Image covers 240 mm x 240 mm; Axial plane; Image size 240x240; Slice index 101
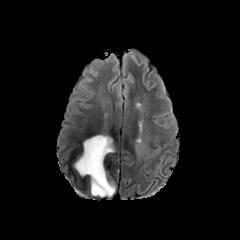
FLAIR MRI.
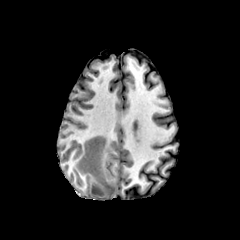
Same slice, T1-weighted MR image.
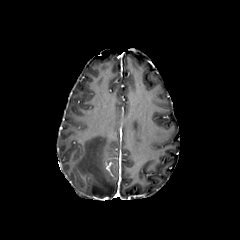
Post-contrast T1-weighted MR image.
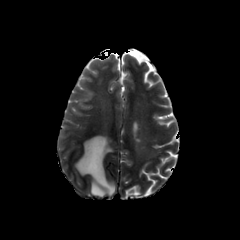
Same slice, T2-weighted MR image.
peritumoral edema: box(74, 135, 115, 197)